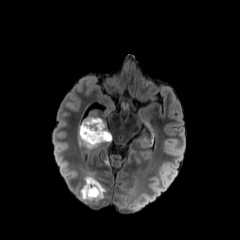
FLAIR MR.
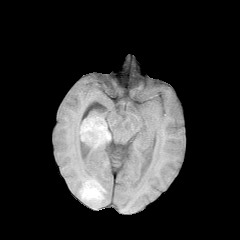
T1-weighted MR.
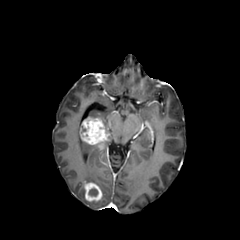
Post-contrast T1-weighted MR.
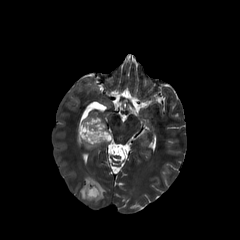
T2-weighted MRI of the same slice.
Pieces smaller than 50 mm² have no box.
{"peritumoral_edema": ["(left=78, top=125, right=99, bottom=148)", "(left=84, top=173, right=105, bottom=199)", "(left=79, top=186, right=99, bottom=203)"], "necrotic_tumor_core": ["(left=88, top=188, right=98, bottom=196)"], "enhancing_tumor": ["(left=80, top=117, right=109, bottom=147)", "(left=84, top=182, right=102, bottom=201)"]}